FLAIR MR.
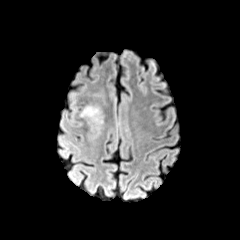
T1-weighted MR image.
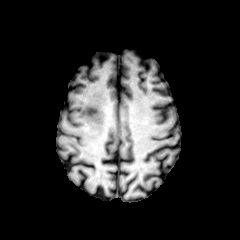
Post-contrast T1-weighted MRI.
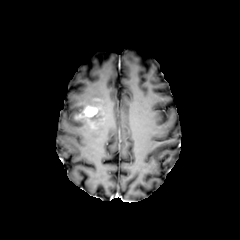
T2-weighted magnetic resonance.
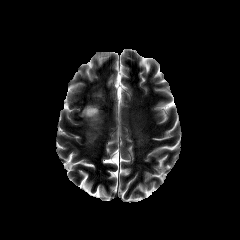
Brain.
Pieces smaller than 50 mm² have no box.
{
  "peritumoral_edema": [
    "(89,108,99,121)"
  ],
  "enhancing_tumor": [
    "(80,105,97,117)"
  ]
}